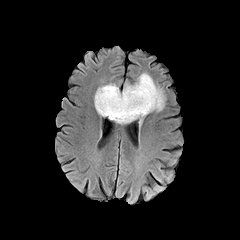
FLAIR magnetic resonance.
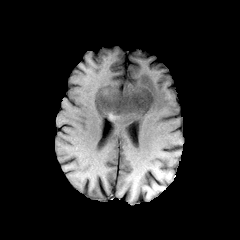
T1-weighted MRI.
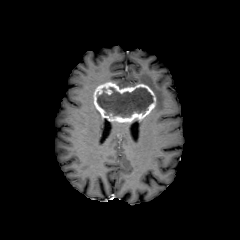
Post-contrast T1-weighted MR image.
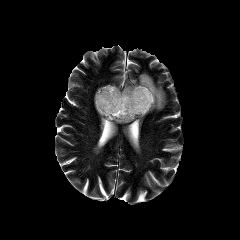
Same slice, T2-weighted MR.
Axial view, Head, Image size 240x240
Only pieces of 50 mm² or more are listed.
enhancing tumor at [93,82,156,124]
peritumoral edema at [125,73,165,111]
necrotic tumor core at [97,87,153,117]